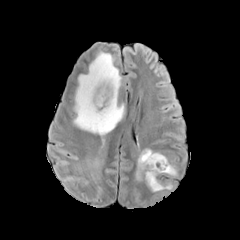
FLAIR MR.
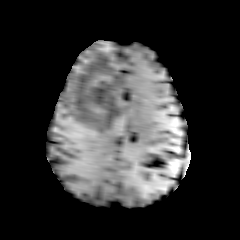
T1-weighted magnetic resonance of the same slice.
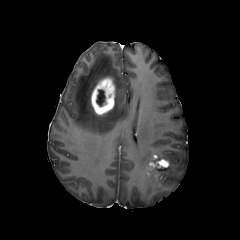
Post-contrast T1-weighted MR.
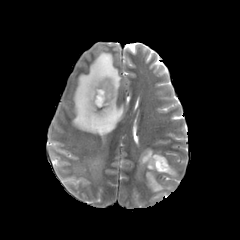
Same slice, T2-weighted magnetic resonance.
Axial view; 240x240 px
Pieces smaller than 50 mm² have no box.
peritumoral edema = l=73, t=52, r=124, b=135; l=136, t=149, r=177, b=191
necrotic tumor core = l=96, t=90, r=105, b=106
enhancing tumor = l=91, t=77, r=115, b=115; l=147, t=159, r=168, b=169